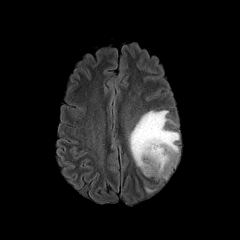
FLAIR magnetic resonance.
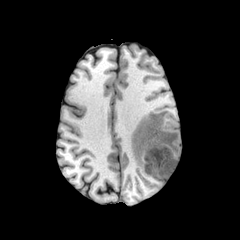
Same slice, T1-weighted MRI.
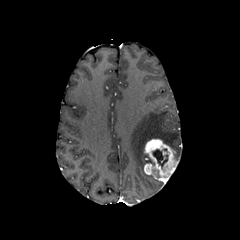
Post-contrast T1-weighted MR image.
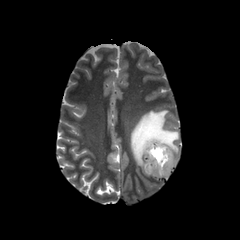
T2-weighted MR image of the same slice.
Brain | 240x240
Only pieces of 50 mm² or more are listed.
The largest necrotic tumor core region appears at [153, 149, 167, 166]. The largest peritumoral edema region appears at [129, 110, 179, 173]. The largest enhancing tumor region is bounded by [144, 138, 178, 182].